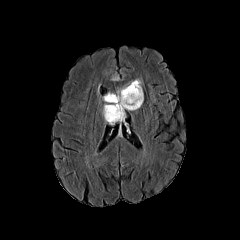
FLAIR magnetic resonance.
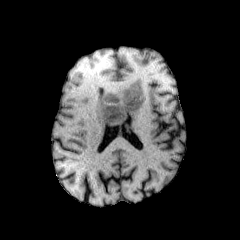
T1-weighted MRI.
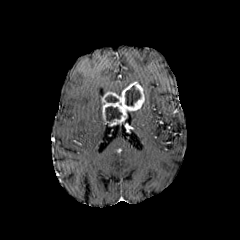
Post-contrast T1-weighted magnetic resonance.
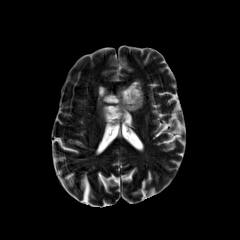
T2-weighted magnetic resonance.
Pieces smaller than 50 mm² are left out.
The 3 largest necrotic tumor core regions are located at [125, 86, 140, 105], [105, 95, 118, 102], [106, 106, 121, 121]. The enhancing tumor lies within [101, 81, 144, 125]. The largest peritumoral edema region is bounded by [116, 81, 134, 94].